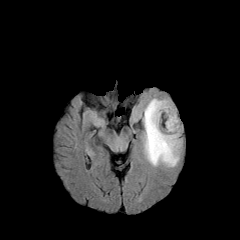
FLAIR MRI.
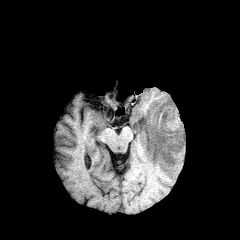
T1-weighted MR of the same slice.
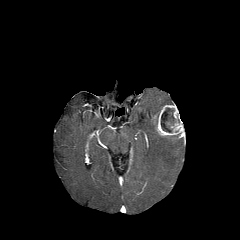
Post-contrast T1-weighted magnetic resonance.
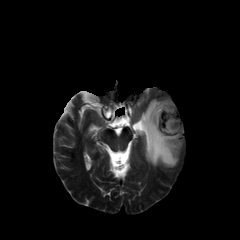
T2-weighted magnetic resonance.
<segmentation>
  <necrotic_tumor_core>161:108:175:132</necrotic_tumor_core>
  <enhancing_tumor>152:104:183:139</enhancing_tumor>
  <peritumoral_edema>143:98:182:167</peritumoral_edema>
</segmentation>